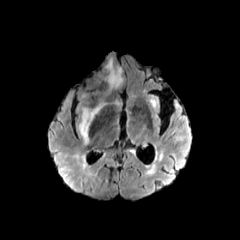
FLAIR MR.
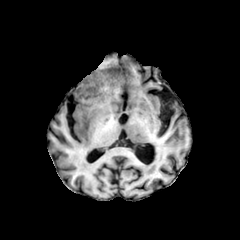
T1-weighted MR.
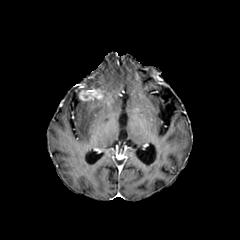
Post-contrast T1-weighted MRI.
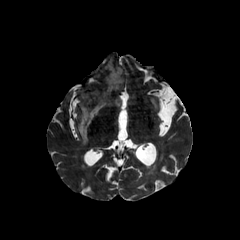
T2-weighted magnetic resonance.
240x240 px. Axial view.
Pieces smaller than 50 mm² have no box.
{"peritumoral_edema": ["<bbox>106, 60, 122, 88</bbox>", "<bbox>78, 103, 103, 144</bbox>"], "enhancing_tumor": ["<bbox>79, 87, 103, 100</bbox>"]}